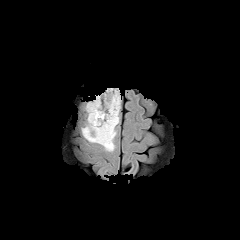
FLAIR MR.
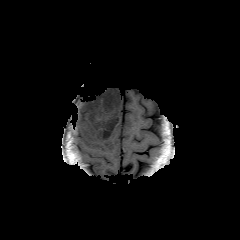
T1-weighted magnetic resonance of the same slice.
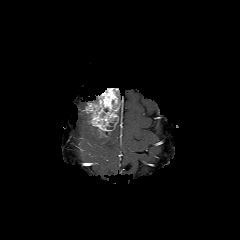
Same slice, post-contrast T1-weighted MRI.
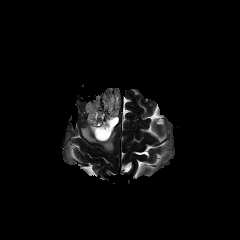
T2-weighted MR of the same slice.
Image size 240x240; Axial view
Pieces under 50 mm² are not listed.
{"peritumoral_edema": ["l=81, t=115, r=116, b=151"], "enhancing_tumor": ["l=85, t=88, r=120, b=140"], "necrotic_tumor_core": ["l=93, t=127, r=108, b=139"]}